Axial view. Slice 84 of 155. Brain.
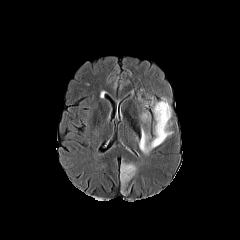
FLAIR MR image.
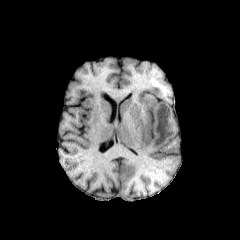
T1-weighted MRI.
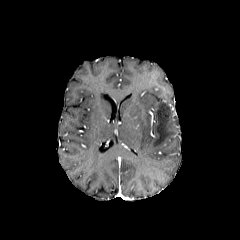
Post-contrast T1-weighted MRI of the same slice.
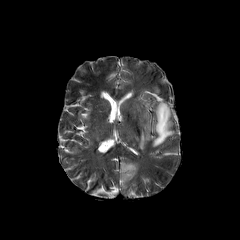
T2-weighted MR image.
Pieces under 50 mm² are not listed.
Findings:
• peritumoral edema: region(139, 100, 173, 153); region(141, 112, 150, 122); region(120, 163, 136, 185)